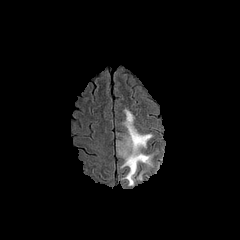
FLAIR MR image.
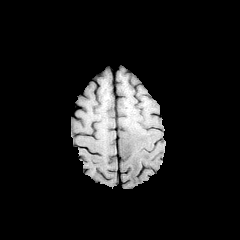
Same slice, T1-weighted MRI.
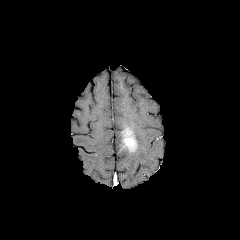
Post-contrast T1-weighted MR.
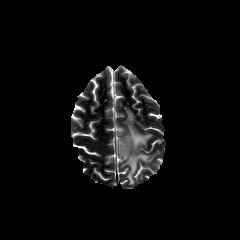
T2-weighted magnetic resonance.
Axial plane. Brain.
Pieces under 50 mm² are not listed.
The largest peritumoral edema region is bounded by (left=116, top=109, right=153, bottom=186). The enhancing tumor lies within (left=120, top=128, right=136, bottom=151).